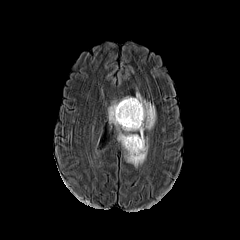
FLAIR MR.
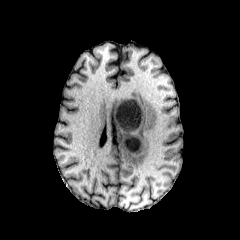
T1-weighted magnetic resonance.
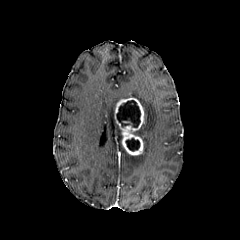
Post-contrast T1-weighted MRI of the same slice.
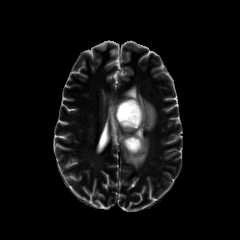
T2-weighted magnetic resonance of the same slice.
Axial view
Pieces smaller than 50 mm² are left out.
peritumoral_edema:
  - {"x1": 125, "y1": 92, "x2": 156, "y2": 167}
  - {"x1": 108, "y1": 101, "x2": 122, "y2": 142}
enhancing_tumor:
  - {"x1": 114, "y1": 97, "x2": 144, "y2": 155}
necrotic_tumor_core:
  - {"x1": 125, "y1": 138, "x2": 139, "y2": 151}
  - {"x1": 116, "y1": 100, "x2": 140, "y2": 127}